Axial view | Image width 240 mm | Slice 45/155
FLAIR magnetic resonance.
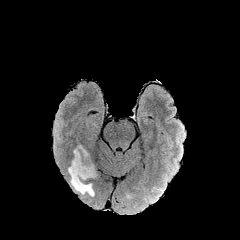
T1-weighted MRI.
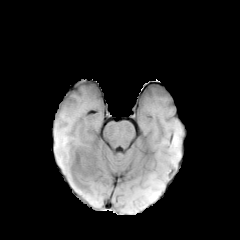
Post-contrast T1-weighted MR.
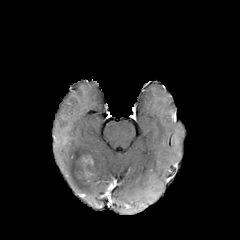
T2-weighted MR image.
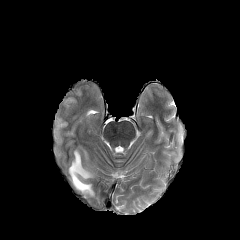
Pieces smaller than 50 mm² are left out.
Segmented structures:
• peritumoral edema: [x1=68, y1=145, x2=95, y2=196]
• necrotic tumor core: [x1=75, y1=160, x2=93, y2=176]
• enhancing tumor: [x1=74, y1=169, x2=92, y2=178], [x1=78, y1=155, x2=93, y2=164]